FLAIR MR image.
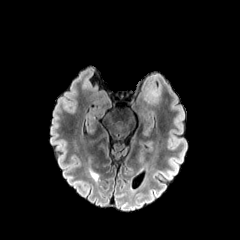
T1-weighted MRI.
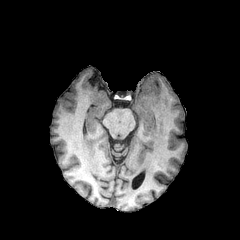
Post-contrast T1-weighted MR image.
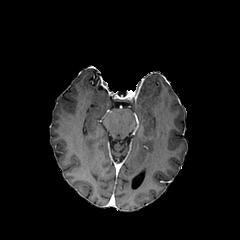
T2-weighted MR image.
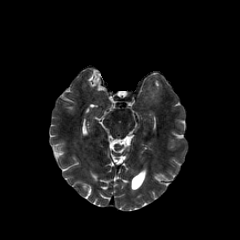
Axial slice
<segmentation>
  <peritumoral_edema>145, 90, 158, 103</peritumoral_edema>
</segmentation>